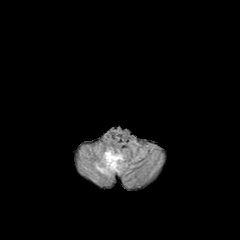
FLAIR MR image.
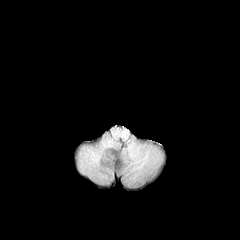
T1-weighted magnetic resonance.
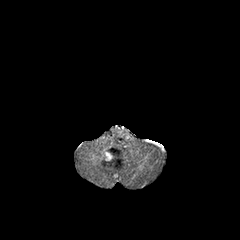
Same slice, post-contrast T1-weighted MR.
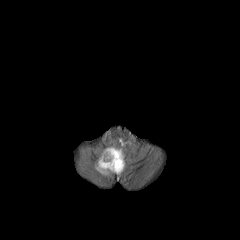
T2-weighted magnetic resonance of the same slice.
Brain. Axial plane. 240x240 px.
<segmentation>
  <enhancing_tumor>l=105, t=151, r=115, b=161</enhancing_tumor>
  <peritumoral_edema>l=95, t=148, r=125, b=175</peritumoral_edema>
</segmentation>